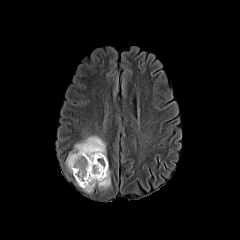
FLAIR MRI.
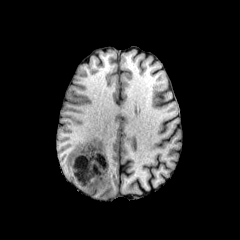
Same slice, T1-weighted magnetic resonance.
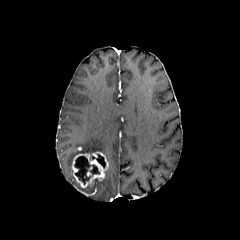
Post-contrast T1-weighted magnetic resonance.
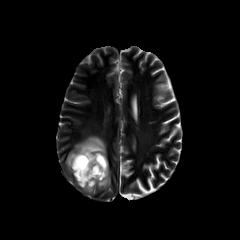
Same slice, T2-weighted MR.
240x240 px; Axial plane
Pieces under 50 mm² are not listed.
The largest enhancing tumor region lies within (left=71, top=151, right=108, bottom=187). 2 peritumoral edema regions are located at (left=65, top=135, right=106, bottom=174), (left=76, top=168, right=110, bottom=192). 3 necrotic tumor core regions appear at (left=90, top=165, right=99, bottom=174), (left=74, top=156, right=90, bottom=184), (left=92, top=154, right=105, bottom=167).